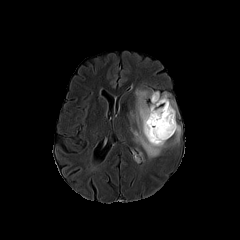
FLAIR MR.
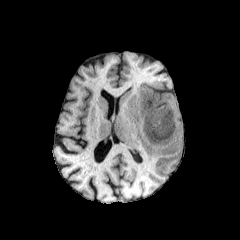
T1-weighted MR.
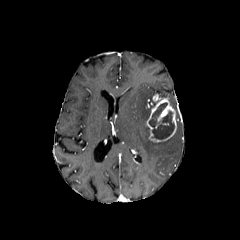
Post-contrast T1-weighted MR image.
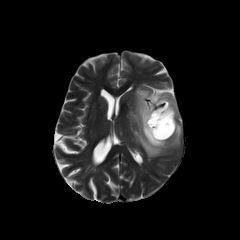
T2-weighted MR.
Image size 240x240.
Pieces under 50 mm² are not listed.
necrotic tumor core: (149, 103, 174, 139) | enhancing tumor: (145, 93, 176, 142) | peritumoral edema: (130, 88, 181, 158), (161, 93, 176, 113)